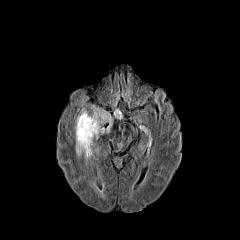
FLAIR MRI.
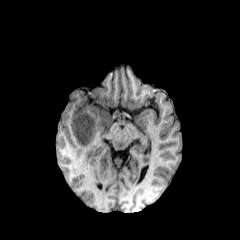
T1-weighted MRI of the same slice.
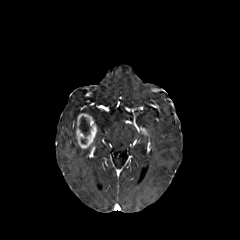
Post-contrast T1-weighted MRI of the same slice.
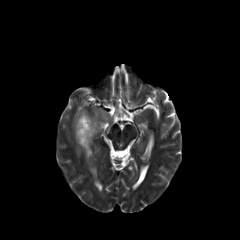
Same slice, T2-weighted MR.
240x240
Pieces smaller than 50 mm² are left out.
Segmented structures:
• peritumoral edema: [92,112,105,134], [76,142,89,155]
• necrotic tumor core: [79,117,89,135]
• enhancing tumor: [75,113,97,149]